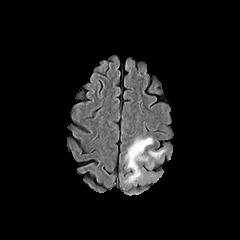
FLAIR MR image.
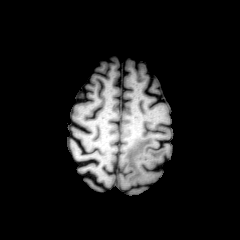
T1-weighted MRI.
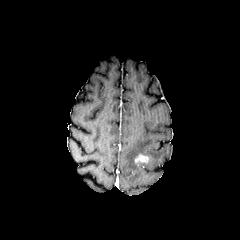
Post-contrast T1-weighted MR.
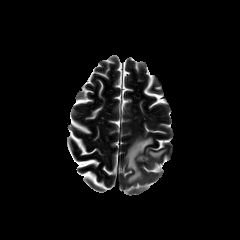
Same slice, T2-weighted MR.
<segmentation>
  <peritumoral_edema>(left=147, top=146, right=167, bottom=159), (left=124, top=135, right=154, bottom=184), (left=145, top=161, right=154, bottom=169)</peritumoral_edema>
  <enhancing_tumor>(left=134, top=154, right=148, bottom=165)</enhancing_tumor>
</segmentation>